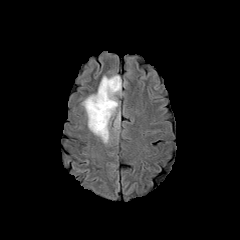
FLAIR magnetic resonance.
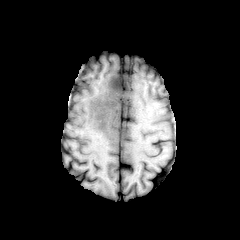
Same slice, T1-weighted MR image.
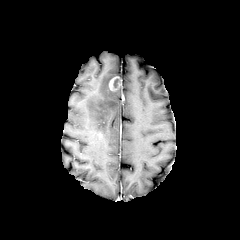
Post-contrast T1-weighted magnetic resonance.
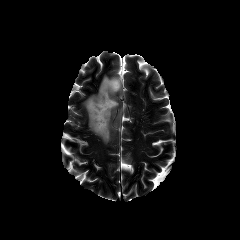
Same slice, T2-weighted MR image.
Head
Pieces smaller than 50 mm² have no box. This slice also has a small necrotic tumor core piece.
Findings:
* peritumoral edema: <box>82,75,121,143</box>
* enhancing tumor: <box>109,76,121,90</box>